Brain; 240x240; Slice 118 of 155
FLAIR magnetic resonance.
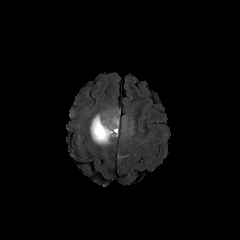
T1-weighted magnetic resonance.
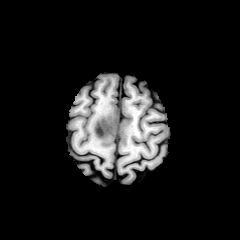
Post-contrast T1-weighted MR.
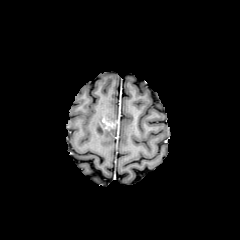
T2-weighted MR.
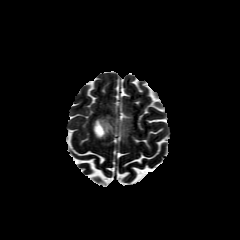
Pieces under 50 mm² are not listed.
peritumoral edema: region(122, 117, 132, 136); region(90, 109, 118, 144)
enhancing tumor: region(101, 119, 118, 133)
necrotic tumor core: region(96, 123, 103, 136)